FLAIR magnetic resonance.
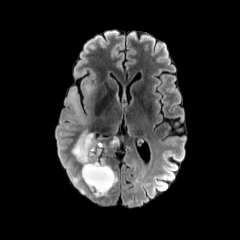
T1-weighted magnetic resonance.
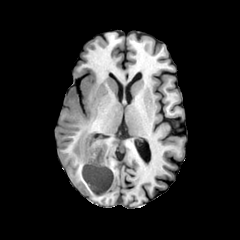
Post-contrast T1-weighted MR.
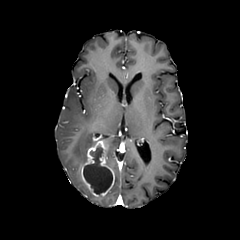
T2-weighted MR image.
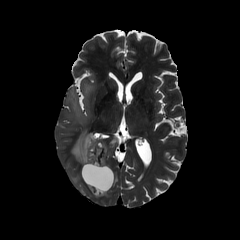
Head | Axial plane
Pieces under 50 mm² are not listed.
peritumoral edema: [x1=65, y1=78, x2=97, y2=126], [x1=72, y1=131, x2=100, y2=163]
enhancing tumor: [x1=81, y1=140, x2=114, y2=196]
necrotic tumor core: [x1=83, y1=145, x2=112, y2=194]